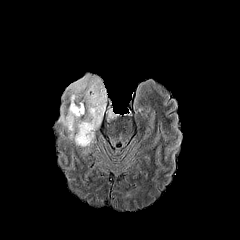
FLAIR magnetic resonance.
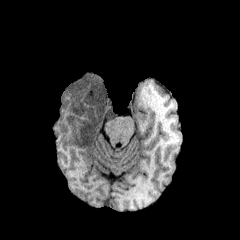
T1-weighted MR.
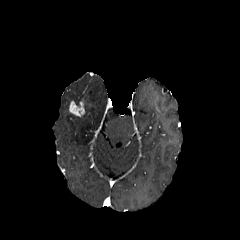
Same slice, post-contrast T1-weighted MRI.
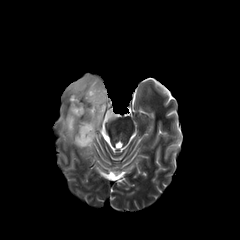
Same slice, T2-weighted MR image.
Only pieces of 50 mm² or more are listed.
enhancing tumor: bounding box <box>69,100,84,116</box>
peritumoral edema: bounding box <box>108,108,117,119</box>, <box>59,75,106,147</box>